FLAIR MR image.
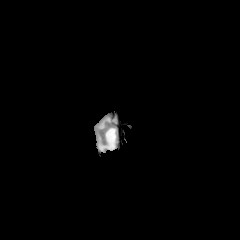
T1-weighted MR image.
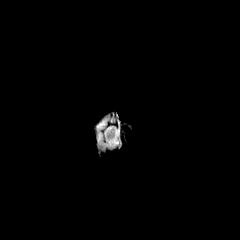
Post-contrast T1-weighted MR image.
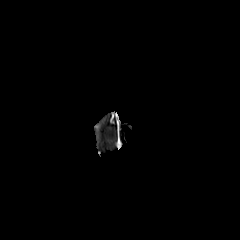
T2-weighted MR image.
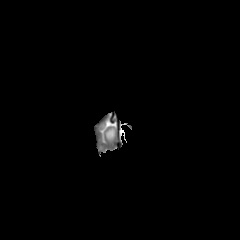
240x240 | Axial view | Head
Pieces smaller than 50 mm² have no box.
Findings:
- peritumoral edema: <bbox>98, 128, 115, 150</bbox>